FLAIR magnetic resonance.
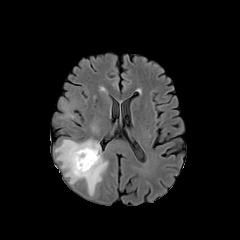
T1-weighted MRI.
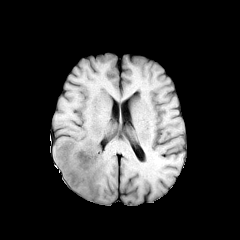
Post-contrast T1-weighted MRI.
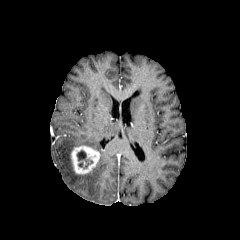
T2-weighted magnetic resonance.
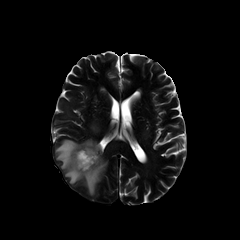
Axial plane
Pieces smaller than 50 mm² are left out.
The largest peritumoral edema region appears at box=[55, 139, 107, 195]. The largest necrotic tumor core region lies within box=[77, 150, 92, 167]. The enhancing tumor lies within box=[71, 145, 99, 174].